FLAIR MR.
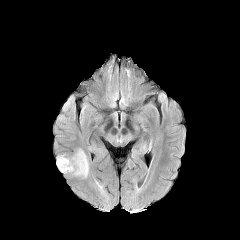
T1-weighted MR image.
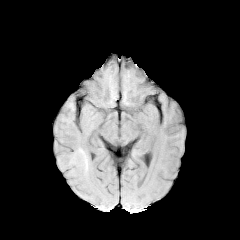
Post-contrast T1-weighted MRI.
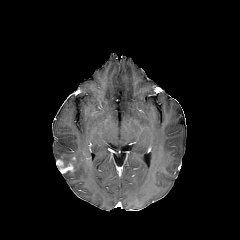
T2-weighted MR.
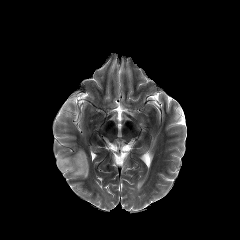
Head.
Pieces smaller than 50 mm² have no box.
The largest enhancing tumor region is bounded by bbox(56, 159, 73, 173). The peritumoral edema appears at bbox(57, 149, 89, 178).